Slice 91 of 155. Brain. Axial plane.
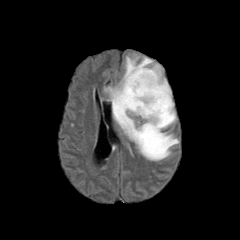
FLAIR magnetic resonance.
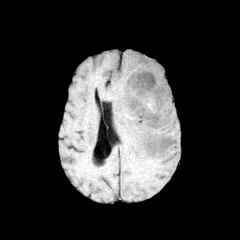
T1-weighted magnetic resonance.
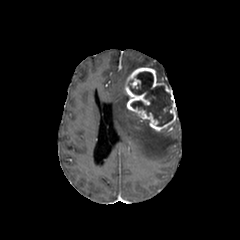
Post-contrast T1-weighted magnetic resonance.
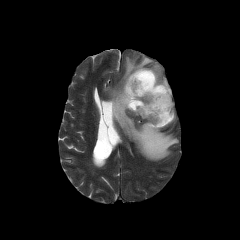
Same slice, T2-weighted MRI.
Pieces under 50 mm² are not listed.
necrotic_tumor_core:
  - (left=128, top=71, right=173, bottom=126)
peritumoral_edema:
  - (left=104, top=55, right=178, bottom=160)
enhancing_tumor:
  - (left=124, top=67, right=176, bottom=131)